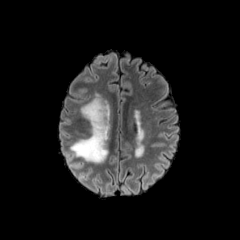
FLAIR MRI.
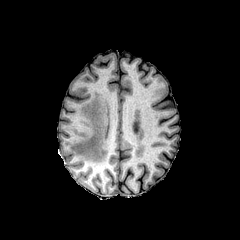
T1-weighted MR.
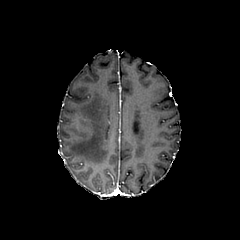
Post-contrast T1-weighted MRI.
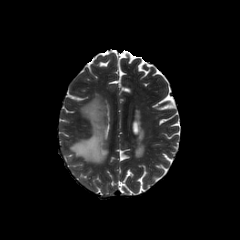
Same slice, T2-weighted MRI.
Axial slice | Image size 240x240
The peritumoral edema appears at l=70, t=97, r=112, b=163.